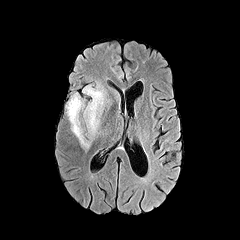
FLAIR MRI.
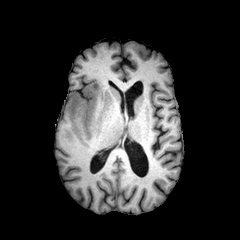
T1-weighted magnetic resonance.
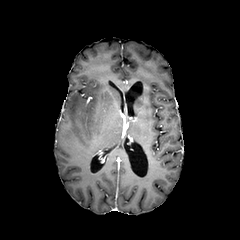
Same slice, post-contrast T1-weighted MR image.
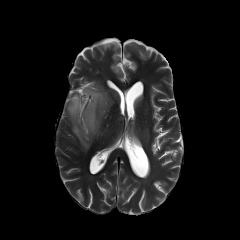
T2-weighted magnetic resonance of the same slice.
Axial view; Brain
The peritumoral edema lies within box=[66, 85, 105, 150].